Axial view. Image covers 240 mm x 240 mm. 240x240.
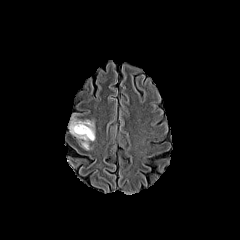
FLAIR MR.
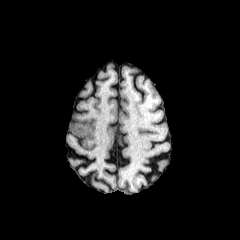
T1-weighted MRI.
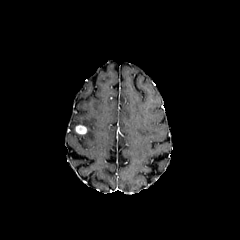
Same slice, post-contrast T1-weighted MRI.
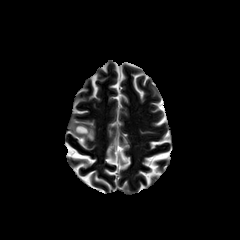
T2-weighted MR image.
<segmentation>
  <enhancing_tumor>[x1=75, y1=125, x2=87, y2=134]</enhancing_tumor>
  <peritumoral_edema>[x1=69, y1=115, x2=95, y2=149]</peritumoral_edema>
</segmentation>